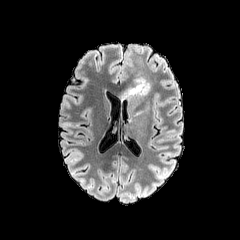
FLAIR magnetic resonance.
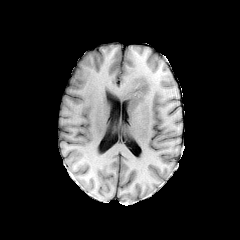
Same slice, T1-weighted MRI.
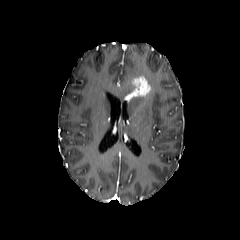
Post-contrast T1-weighted MR of the same slice.
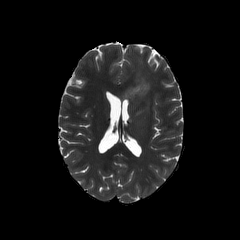
T2-weighted MR.
Head
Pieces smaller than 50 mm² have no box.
{"enhancing_tumor": ["bbox=[124, 76, 150, 99]"], "peritumoral_edema": ["bbox=[129, 67, 142, 77]", "bbox=[134, 58, 143, 65]", "bbox=[122, 85, 134, 99]"]}